FLAIR magnetic resonance.
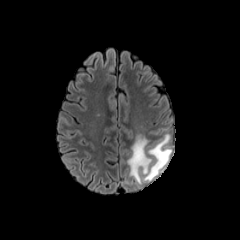
T1-weighted MRI.
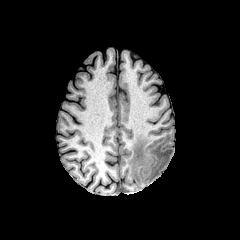
Post-contrast T1-weighted MR.
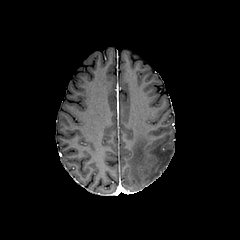
T2-weighted MRI.
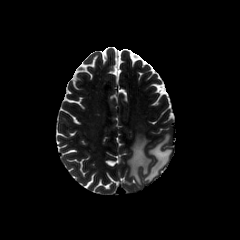
Axial view
The peritumoral edema is located at <box>127,133,172,185</box>.